Image size 240x240, Slice 109/155
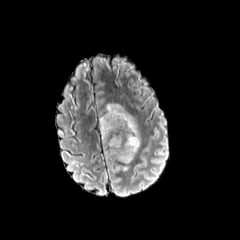
FLAIR magnetic resonance.
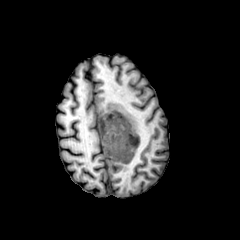
T1-weighted MR of the same slice.
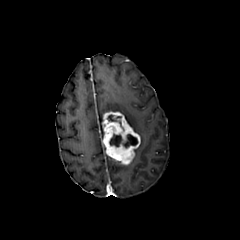
Post-contrast T1-weighted MR of the same slice.
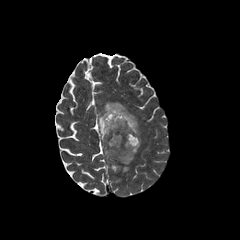
T2-weighted MRI of the same slice.
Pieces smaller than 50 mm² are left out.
<segmentation>
  <peritumoral_edema>x1=99, y1=103, x2=140, y2=139</peritumoral_edema>
  <enhancing_tumor>x1=101, y1=111, x2=140, y2=164</enhancing_tumor>
  <necrotic_tumor_core>x1=122, y1=134, x2=137, y2=147; x1=109, y1=134, x2=121, y2=146</necrotic_tumor_core>
</segmentation>